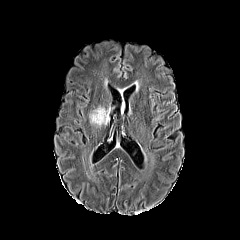
FLAIR MRI.
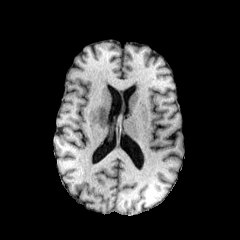
T1-weighted magnetic resonance of the same slice.
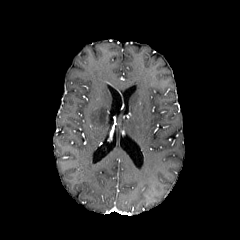
Post-contrast T1-weighted MR.
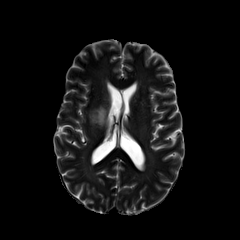
T2-weighted MRI.
Brain | Axial plane
Segmented structures:
• peritumoral edema: 89, 106, 110, 126